Head | 240x240 | Axial plane
FLAIR magnetic resonance.
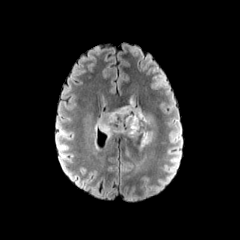
T1-weighted MRI.
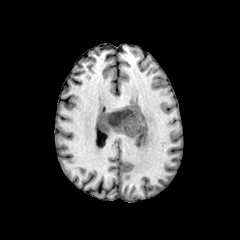
Post-contrast T1-weighted MR.
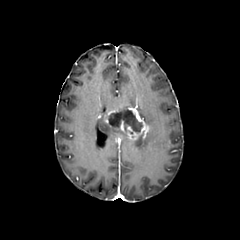
T2-weighted MR image.
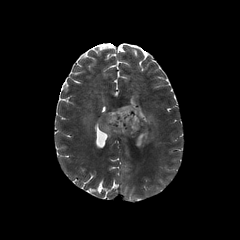
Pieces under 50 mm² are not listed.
{"necrotic_tumor_core": ["x1=108 y1=109 x2=142 y2=132"], "enhancing_tumor": ["x1=104 y1=106 x2=149 y2=139"], "peritumoral_edema": ["x1=121 y1=98 x2=153 y2=126", "x1=140 y1=130 x2=154 y2=144", "x1=98 y1=115 x2=123 y2=137"]}